FLAIR MRI.
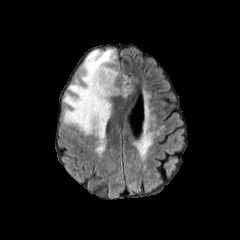
T1-weighted magnetic resonance.
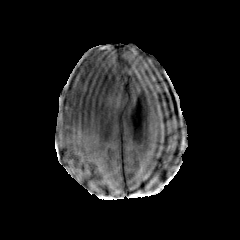
Post-contrast T1-weighted MRI.
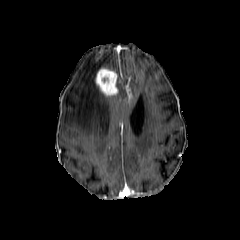
T2-weighted MR.
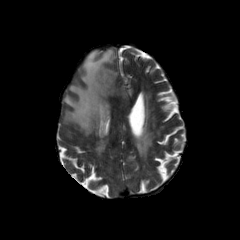
Brain, Axial plane
The enhancing tumor is bounded by [x1=95, y1=67, x2=122, y2=97]. The peritumoral edema is at [x1=62, y1=48, x2=131, y2=135].